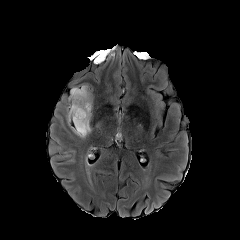
FLAIR MRI.
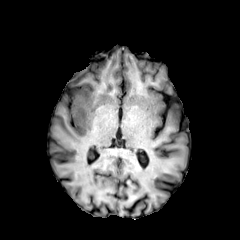
Same slice, T1-weighted MRI.
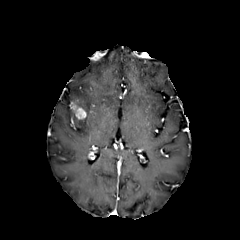
Post-contrast T1-weighted MRI.
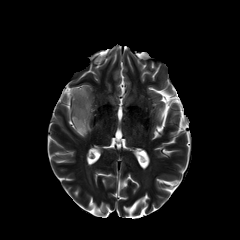
T2-weighted magnetic resonance of the same slice.
Head; Axial slice
peritumoral_edema:
  - 67 84 92 137
enhancing_tumor:
  - 70 102 86 119